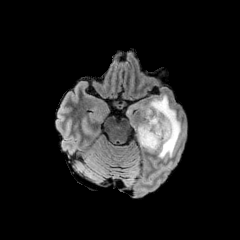
FLAIR MR.
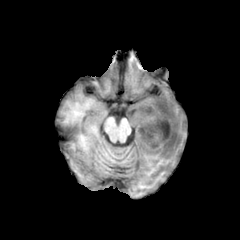
T1-weighted MR.
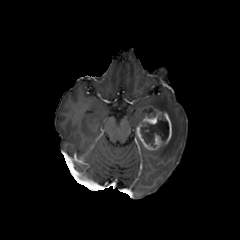
Same slice, post-contrast T1-weighted MR.
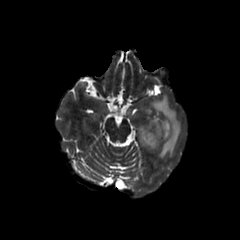
T2-weighted MR image.
Head
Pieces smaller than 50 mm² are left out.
enhancing tumor: (left=136, top=106, right=172, bottom=150) | peritumoral edema: (left=140, top=95, right=184, bottom=158) | necrotic tumor core: (left=141, top=116, right=168, bottom=147)